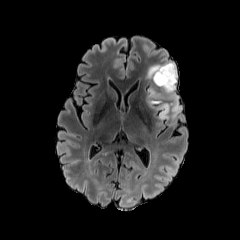
FLAIR magnetic resonance.
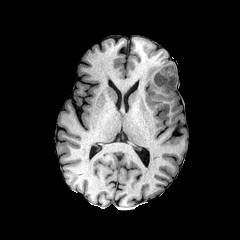
T1-weighted MR image.
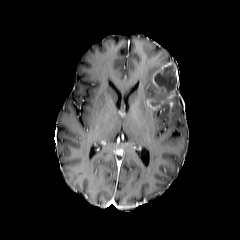
Same slice, post-contrast T1-weighted MR image.
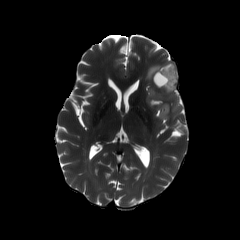
T2-weighted MR of the same slice.
Brain
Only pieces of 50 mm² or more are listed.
peritumoral edema at 151 93 181 119, 144 60 175 108
necrotic tumor core at 154 65 176 91
enhancing tumor at 147 62 178 109